240x240.
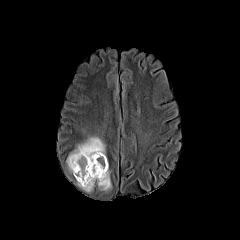
FLAIR magnetic resonance.
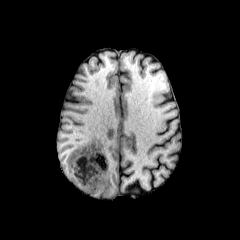
Same slice, T1-weighted magnetic resonance.
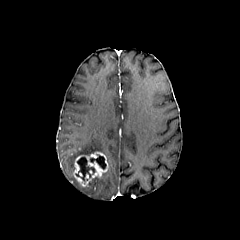
Post-contrast T1-weighted MR.
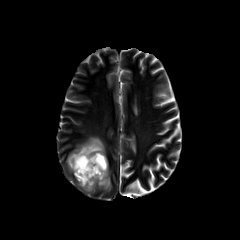
T2-weighted MR.
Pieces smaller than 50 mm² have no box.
2 peritumoral edema regions are located at bbox(66, 136, 105, 173); bbox(77, 169, 111, 191). The largest enhancing tumor region is at bbox(73, 151, 108, 186). 2 necrotic tumor core regions are bounded by bbox(75, 157, 94, 181); bbox(90, 155, 106, 169).